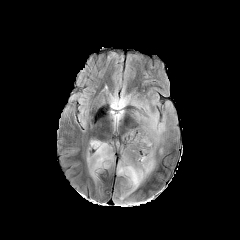
FLAIR magnetic resonance.
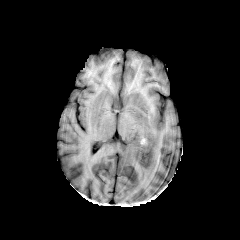
Same slice, T1-weighted MR.
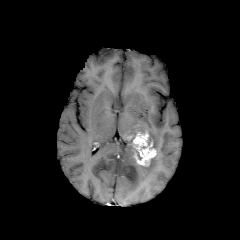
Post-contrast T1-weighted MR.
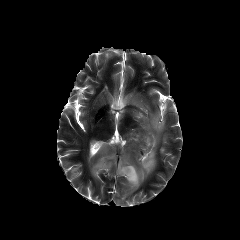
Same slice, T2-weighted MR.
Axial slice; Brain
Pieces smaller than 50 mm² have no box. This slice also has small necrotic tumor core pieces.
enhancing tumor: (left=127, top=131, right=156, bottom=166) | peritumoral edema: (left=87, top=140, right=113, bottom=174), (left=111, top=95, right=165, bottom=150), (left=117, top=146, right=155, bottom=194)